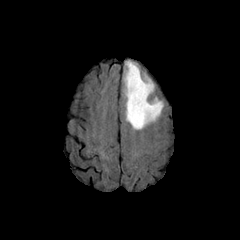
FLAIR MR image.
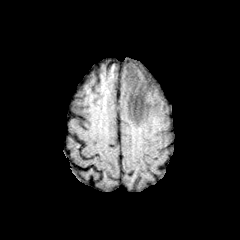
T1-weighted MRI.
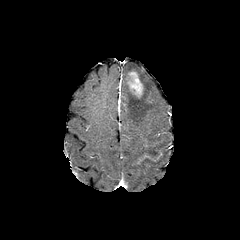
Post-contrast T1-weighted MR.
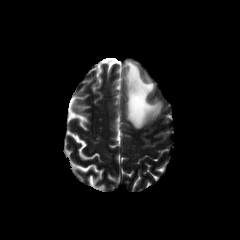
T2-weighted magnetic resonance.
Brain, Axial view, Image size 240x240
Findings:
• enhancing tumor: (128, 71, 142, 97)
• peritumoral edema: (123, 61, 163, 129)